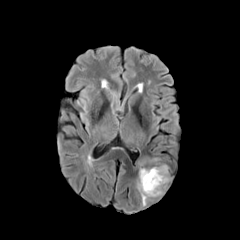
FLAIR magnetic resonance.
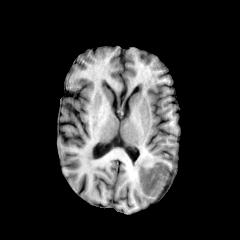
T1-weighted MR image.
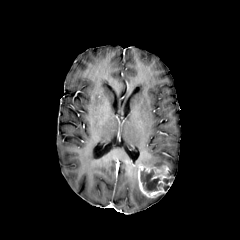
Post-contrast T1-weighted MR image of the same slice.
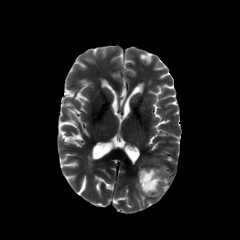
T2-weighted MR image of the same slice.
Image size 240x240
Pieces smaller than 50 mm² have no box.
The largest necrotic tumor core region is bounded by (140,169,168,191). The 2 largest peritumoral edema regions appear at (136,181,147,206), (142,157,160,164). The enhancing tumor lies within (138,165,171,197).